Axial view; Slice index 103; 240x240 px; Image covers 240 mm x 240 mm
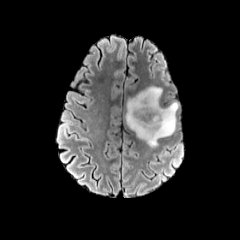
FLAIR MR.
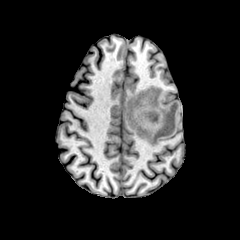
T1-weighted MR image.
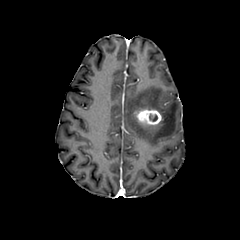
Post-contrast T1-weighted magnetic resonance of the same slice.
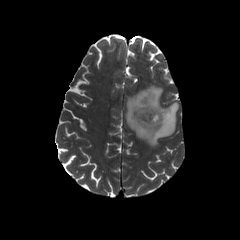
Same slice, T2-weighted MRI.
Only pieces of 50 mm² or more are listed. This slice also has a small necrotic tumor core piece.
peritumoral edema: [125,85,178,146]
enhancing tumor: [135,109,161,125]